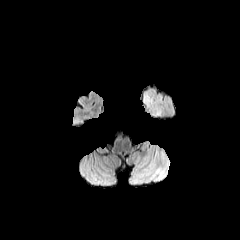
FLAIR MR image.
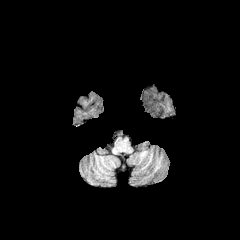
T1-weighted MR of the same slice.
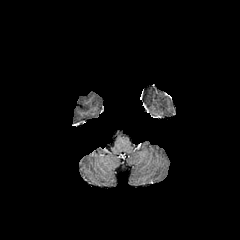
Post-contrast T1-weighted MRI.
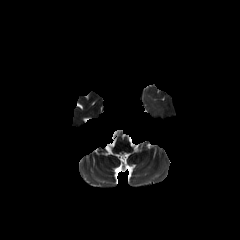
T2-weighted MRI of the same slice.
Image size 240x240, Head
peritumoral_edema:
  - [x1=143, y1=96, x2=160, y2=116]